240x240 px. Brain. Slice 88 of 155.
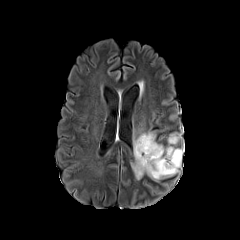
FLAIR MRI.
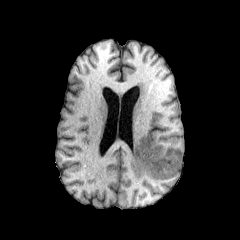
T1-weighted MRI.
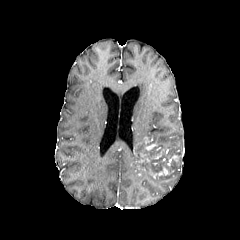
Post-contrast T1-weighted magnetic resonance of the same slice.
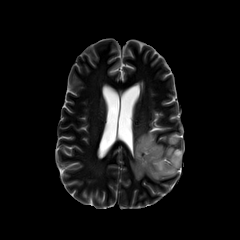
T2-weighted MR image.
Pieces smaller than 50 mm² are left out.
enhancing tumor: bbox=[148, 166, 169, 178]; bbox=[136, 137, 157, 150]; bbox=[136, 149, 164, 162]; bbox=[167, 155, 179, 165] | peritumoral edema: bbox=[131, 154, 180, 181]; bbox=[133, 132, 156, 147]; bbox=[168, 133, 180, 144]; bbox=[158, 144, 180, 155] | necrotic tumor core: bbox=[137, 151, 177, 173]; bbox=[135, 142, 162, 161]